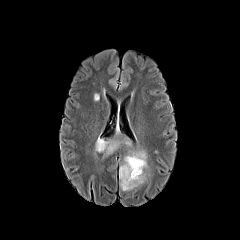
FLAIR MR.
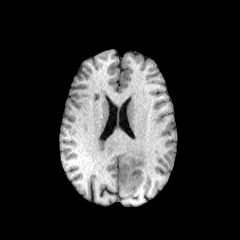
Same slice, T1-weighted MR.
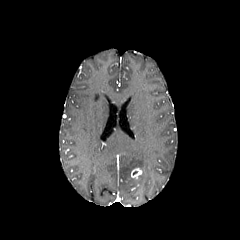
Post-contrast T1-weighted MRI.
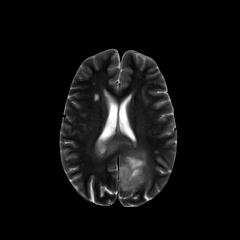
T2-weighted MRI of the same slice.
Brain
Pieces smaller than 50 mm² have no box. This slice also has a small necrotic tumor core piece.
{"peritumoral_edema": ["region(95, 138, 119, 154)", "region(119, 150, 147, 191)"], "enhancing_tumor": ["region(131, 168, 142, 179)"]}